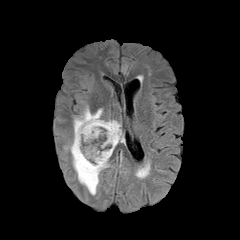
FLAIR MRI.
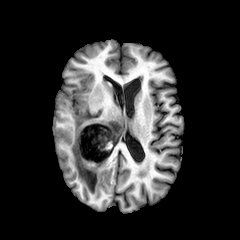
T1-weighted magnetic resonance.
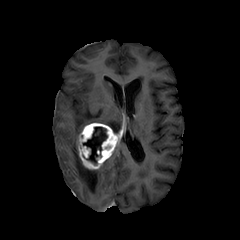
Post-contrast T1-weighted MR image.
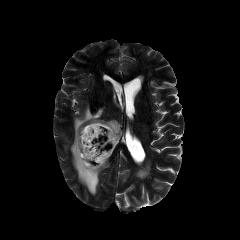
Same slice, T2-weighted MR image.
Axial view. Brain. 240x240.
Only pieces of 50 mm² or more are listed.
enhancing tumor: bounding box [x1=76, y1=123, x2=120, y2=169]
peritumoral edema: bounding box [x1=64, y1=106, x2=121, y2=195]
necrotic tumor core: bounding box [x1=83, y1=127, x2=107, y2=164]